Axial view
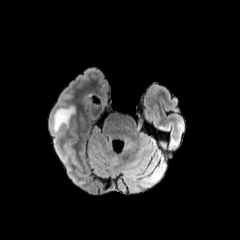
FLAIR magnetic resonance.
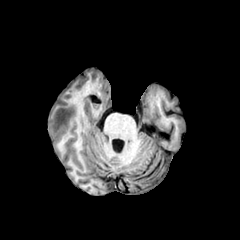
T1-weighted magnetic resonance.
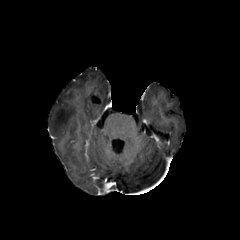
Post-contrast T1-weighted MR.
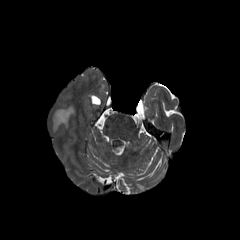
T2-weighted magnetic resonance of the same slice.
peritumoral_edema:
  - rect(52, 106, 74, 132)